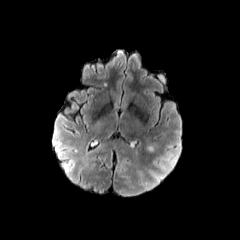
FLAIR MR image.
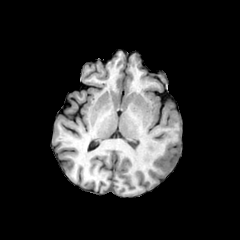
T1-weighted MRI of the same slice.
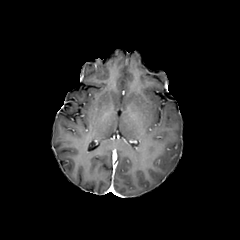
Post-contrast T1-weighted MRI of the same slice.
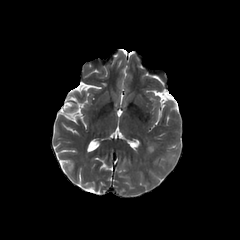
T2-weighted MR of the same slice.
Axial plane; Head; 240x240 px
Segmented structures:
• peritumoral edema: x1=146 y1=144 x2=153 y2=152